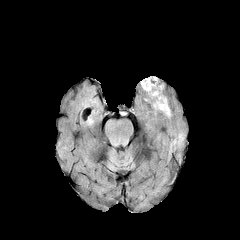
FLAIR MRI.
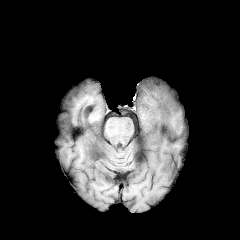
T1-weighted MRI.
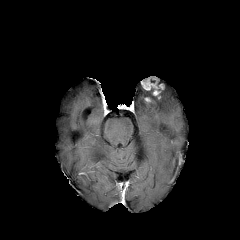
Same slice, post-contrast T1-weighted MR.
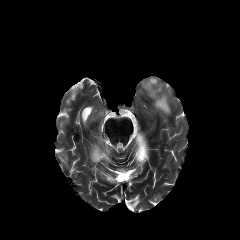
T2-weighted MR.
Axial view
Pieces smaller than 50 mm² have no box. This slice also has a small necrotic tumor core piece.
The largest peritumoral edema region appears at x1=146 y1=83 x2=170 y2=116. The 2 largest enhancing tumor regions are located at x1=141 y1=77 x2=160 y2=90, x1=152 y1=89 x2=161 y2=98.